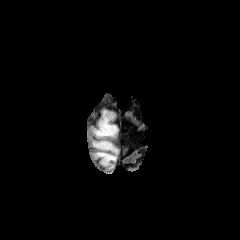
FLAIR MR.
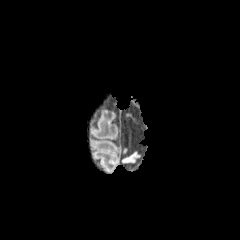
Same slice, T1-weighted magnetic resonance.
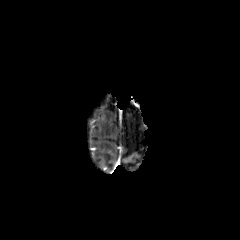
Post-contrast T1-weighted MR of the same slice.
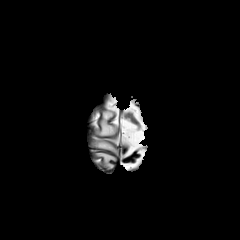
Same slice, T2-weighted MRI.
240x240; Brain
3 peritumoral edema regions are bounded by (x1=95, y1=152, x2=115, y2=166), (x1=92, y1=141, x2=117, y2=154), (x1=94, y1=111, x2=117, y2=136).